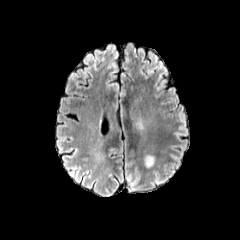
FLAIR MR image.
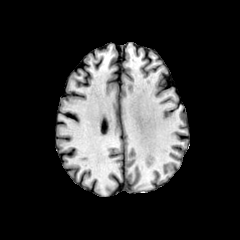
Same slice, T1-weighted MR image.
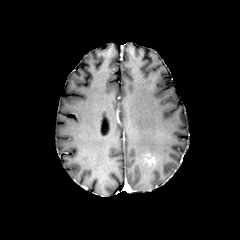
Post-contrast T1-weighted MR.
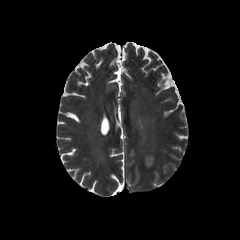
Same slice, T2-weighted magnetic resonance.
Head
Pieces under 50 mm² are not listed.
peritumoral edema: <box>144,155,153,167</box> | enhancing tumor: <box>146,156,155,165</box>